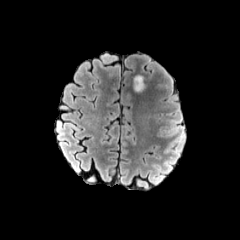
FLAIR MR image.
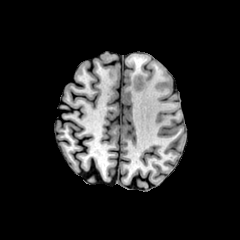
T1-weighted MRI.
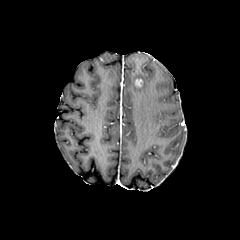
Post-contrast T1-weighted MR image.
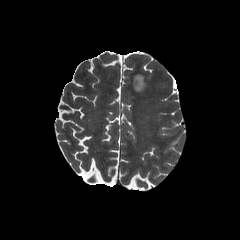
T2-weighted magnetic resonance.
Head | 240x240 | Axial view
peritumoral edema = region(134, 75, 145, 91)
enhancing tumor = region(135, 78, 142, 87)